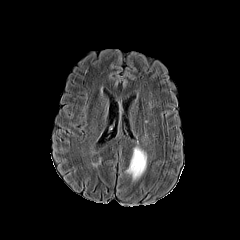
FLAIR magnetic resonance.
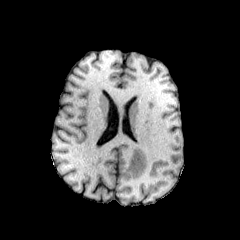
T1-weighted MR.
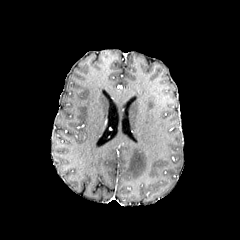
Post-contrast T1-weighted MRI of the same slice.
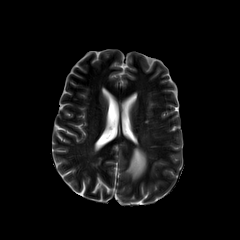
T2-weighted MRI.
Axial slice | Brain | Image size 240x240
{"peritumoral_edema": ["bbox=[126, 147, 147, 181]"]}